FLAIR magnetic resonance.
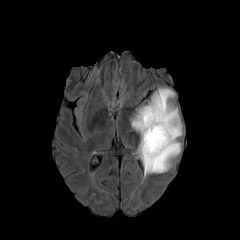
T1-weighted MRI.
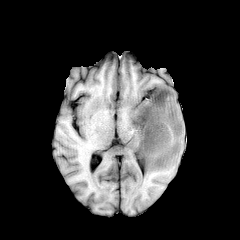
Post-contrast T1-weighted MRI.
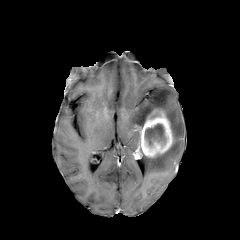
T2-weighted MR.
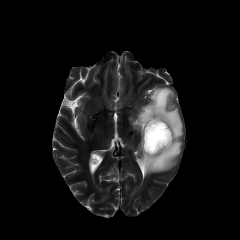
240x240 px; Brain
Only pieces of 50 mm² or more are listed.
The largest peritumoral edema region appears at {"x1": 131, "y1": 87, "x2": 183, "y2": 175}. The necrotic tumor core is located at {"x1": 145, "y1": 124, "x2": 166, "y2": 145}. The largest enhancing tumor region is at {"x1": 135, "y1": 109, "x2": 173, "y2": 157}.